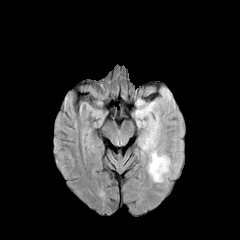
FLAIR MR.
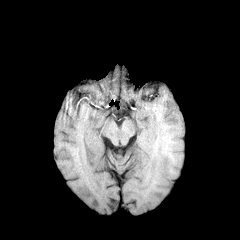
T1-weighted MR of the same slice.
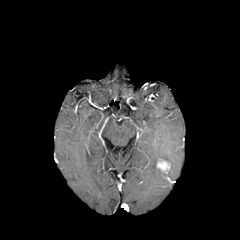
Same slice, post-contrast T1-weighted magnetic resonance.
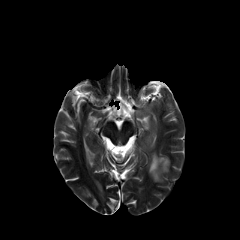
Same slice, T2-weighted magnetic resonance.
240x240 px. Axial plane.
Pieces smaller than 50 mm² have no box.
peritumoral_edema:
  - x1=148, y1=150, x2=170, y2=182
  - x1=134, y1=101, x2=163, y2=150
enhancing_tumor:
  - x1=157, y1=160, x2=169, y2=171